FLAIR magnetic resonance.
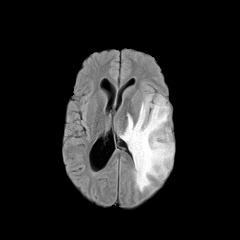
T1-weighted MRI.
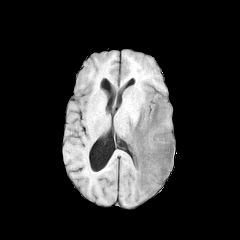
Post-contrast T1-weighted magnetic resonance.
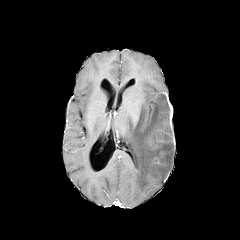
T2-weighted MR image.
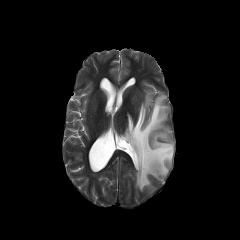
peritumoral edema: 120,94,173,191